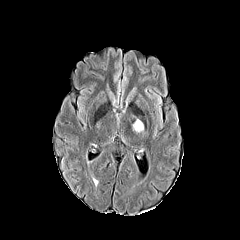
FLAIR MR.
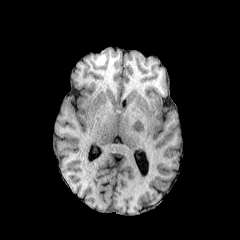
T1-weighted MR image.
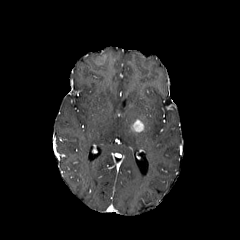
Same slice, post-contrast T1-weighted MRI.
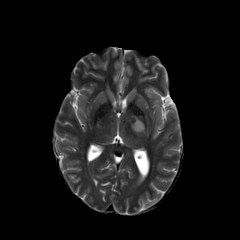
T2-weighted magnetic resonance.
240x240; Axial plane
Segmented structures:
- enhancing tumor: l=131, t=119, r=144, b=132